FLAIR MR.
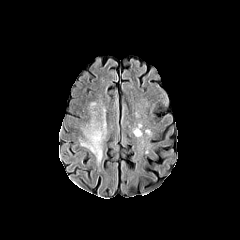
T1-weighted MR image.
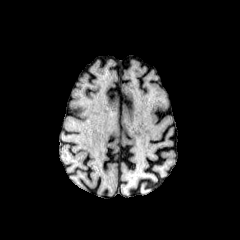
Post-contrast T1-weighted MRI.
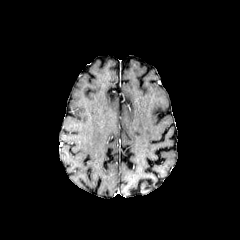
T2-weighted MR.
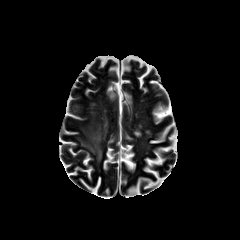
Brain
peritumoral edema: 82,123,102,161